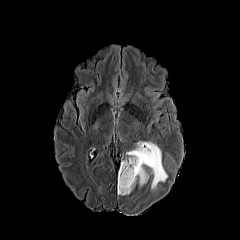
FLAIR MR.
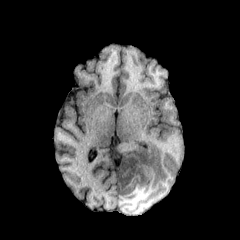
T1-weighted MR.
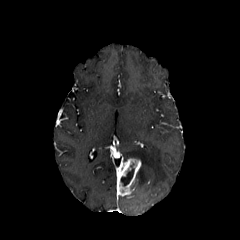
Post-contrast T1-weighted MR image of the same slice.
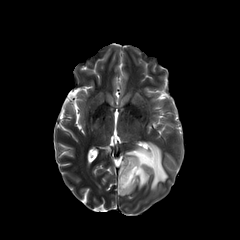
Same slice, T2-weighted MR.
Head. 240x240 px. Axial view.
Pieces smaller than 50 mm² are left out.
peritumoral edema: bounding box [x1=126, y1=142, x2=167, y2=189]
enhancing tumor: bounding box [x1=117, y1=158, x2=141, y2=196]
necrotic tumor core: bounding box [x1=120, y1=163, x2=134, y2=186]